Axial slice | Image size 240x240
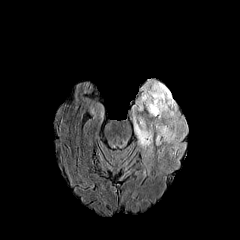
FLAIR MR.
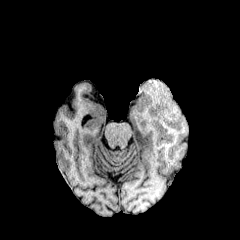
T1-weighted magnetic resonance.
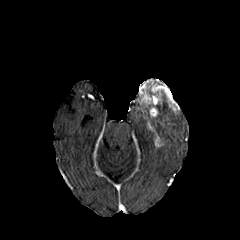
Post-contrast T1-weighted MR.
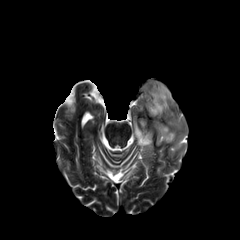
T2-weighted MR.
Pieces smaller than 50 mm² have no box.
* enhancing tumor: region(155, 133, 162, 146); region(136, 80, 177, 116)
* peritumoral edema: region(133, 101, 184, 156)